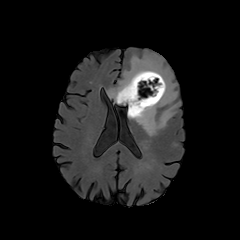
FLAIR magnetic resonance.
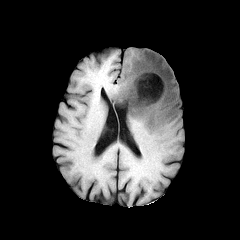
T1-weighted magnetic resonance.
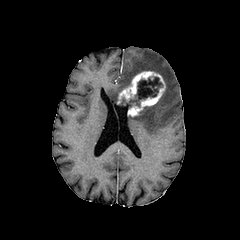
Post-contrast T1-weighted MRI.
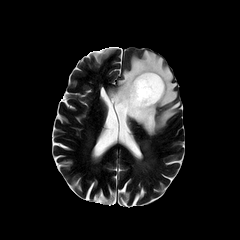
T2-weighted MRI.
Axial view. Head.
necrotic tumor core — x1=133, y1=77, x2=162, y2=106
enhancing tumor — x1=117, y1=71, x2=165, y2=116
peritumoral edema — x1=107, y1=50, x2=180, y2=136